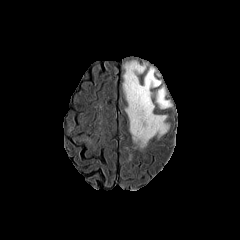
FLAIR MR image.
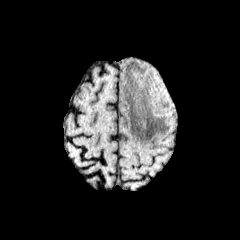
T1-weighted MR of the same slice.
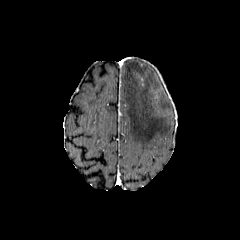
Post-contrast T1-weighted MR image.
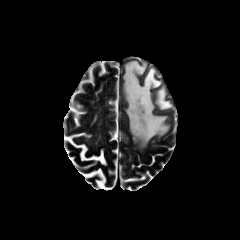
Same slice, T2-weighted MRI.
Brain.
peritumoral edema: [x1=155, y1=87, x2=171, y2=109], [x1=123, y1=61, x2=169, y2=148]